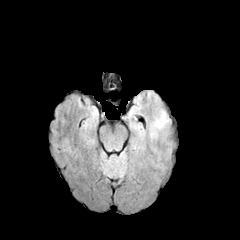
FLAIR magnetic resonance.
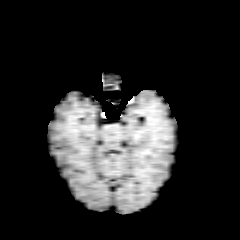
T1-weighted MRI.
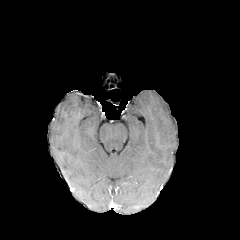
Post-contrast T1-weighted magnetic resonance.
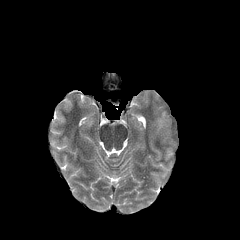
T2-weighted magnetic resonance of the same slice.
240x240 px. Head. Axial view.
{
  "peritumoral_edema": [
    "(151,112,167,137)"
  ]
}